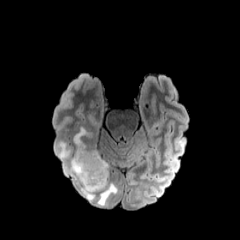
FLAIR MRI.
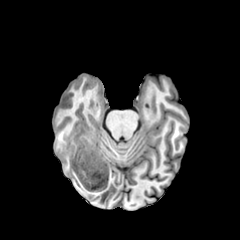
Same slice, T1-weighted magnetic resonance.
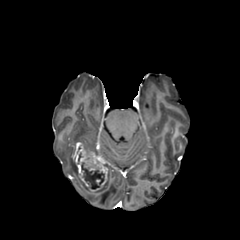
Post-contrast T1-weighted MR.
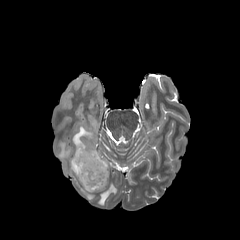
Same slice, T2-weighted MR.
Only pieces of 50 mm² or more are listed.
{
  "necrotic_tumor_core": [
    "bbox=[81, 162, 104, 189]"
  ],
  "enhancing_tumor": [
    "bbox=[73, 142, 107, 191]"
  ],
  "peritumoral_edema": [
    "bbox=[55, 126, 117, 205]"
  ]
}